Axial plane
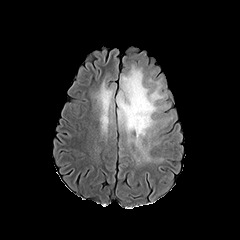
FLAIR magnetic resonance.
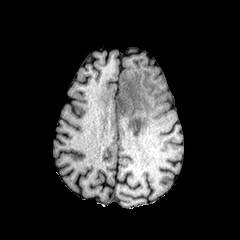
T1-weighted MR.
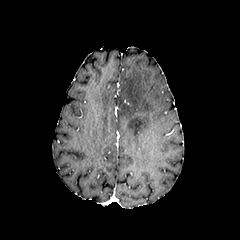
Post-contrast T1-weighted MRI.
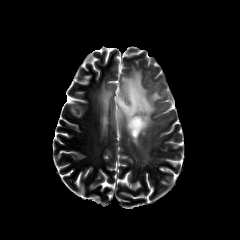
Same slice, T2-weighted MRI.
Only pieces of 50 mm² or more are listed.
peritumoral edema: bbox(96, 82, 114, 131); bbox(116, 66, 165, 147)